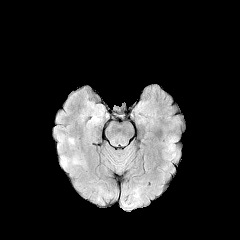
FLAIR MR.
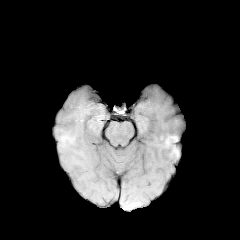
T1-weighted MRI.
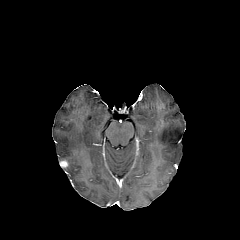
Same slice, post-contrast T1-weighted MR.
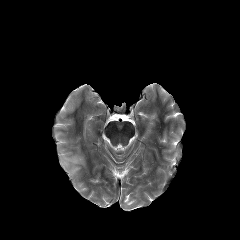
Same slice, T2-weighted magnetic resonance.
240x240 px
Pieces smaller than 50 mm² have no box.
Annotated regions:
* enhancing tumor: (left=60, top=160, right=67, bottom=167)
* peritumoral edema: (left=60, top=154, right=84, bottom=170)